Slice 75/155; 240x240; Head; Image width 240 mm, 1.00 mm slice spacing
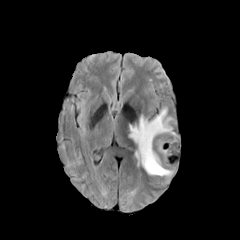
FLAIR MRI.
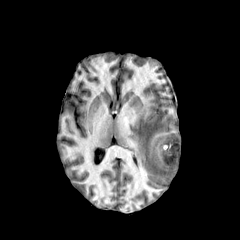
Same slice, T1-weighted MRI.
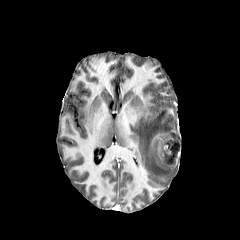
Post-contrast T1-weighted magnetic resonance.
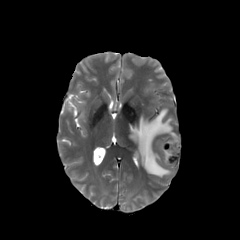
Same slice, T2-weighted MR image.
<segmentation>
  <peritumoral_edema>{"x1": 128, "y1": 108, "x2": 176, "y2": 176}</peritumoral_edema>
  <necrotic_tumor_core>{"x1": 160, "y1": 136, "x2": 179, "y2": 165}</necrotic_tumor_core>
  <enhancing_tumor>{"x1": 157, "y1": 135, "x2": 179, "y2": 167}, {"x1": 168, "y1": 131, "x2": 179, "y2": 141}, {"x1": 163, "y1": 143, "x2": 172, "y2": 154}</enhancing_tumor>
</segmentation>